Slice 48 of 155; Image size 240x240; Brain
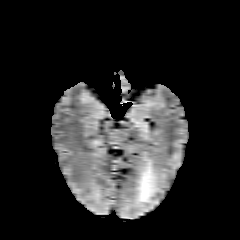
FLAIR magnetic resonance.
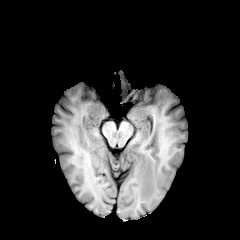
T1-weighted MRI.
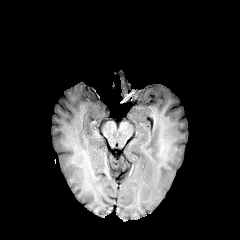
Post-contrast T1-weighted magnetic resonance.
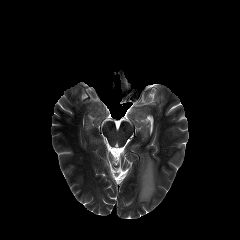
T2-weighted MRI.
The peritumoral edema is bounded by x1=136 y1=156 x2=159 y2=204.